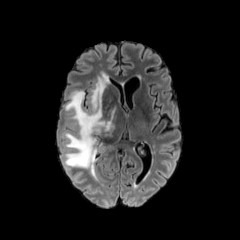
FLAIR MRI.
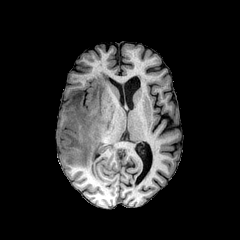
Same slice, T1-weighted magnetic resonance.
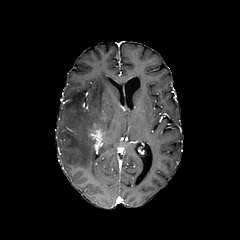
Post-contrast T1-weighted magnetic resonance of the same slice.
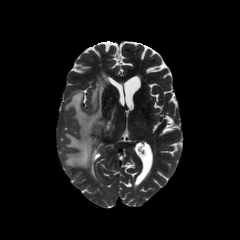
T2-weighted MR image of the same slice.
Brain.
{
  "peritumoral_edema": [
    "box=[64, 73, 118, 175]"
  ],
  "enhancing_tumor": [
    "box=[89, 126, 103, 144]"
  ]
}